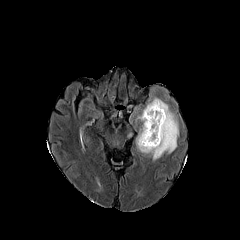
FLAIR MR.
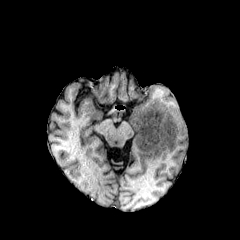
T1-weighted MR image of the same slice.
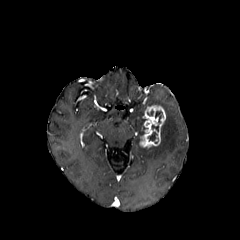
Post-contrast T1-weighted magnetic resonance.
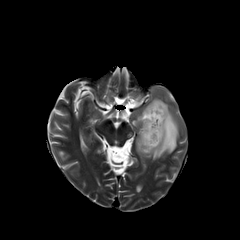
T2-weighted MR of the same slice.
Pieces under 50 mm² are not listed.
peritumoral edema: bounding box 137,109,144,122; 135,97,178,160
enhancing tumor: bounding box 139,105,165,147
necrotic tumor core: bounding box 148,132,157,140; 155,111,162,123